Brain; Image size 240x240; Axial view; Slice 79 of 155
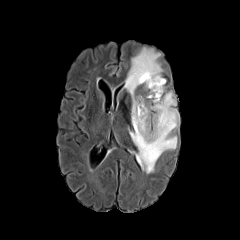
FLAIR MR.
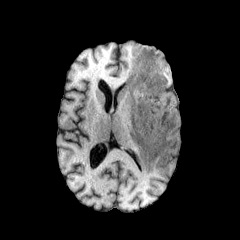
Same slice, T1-weighted MR.
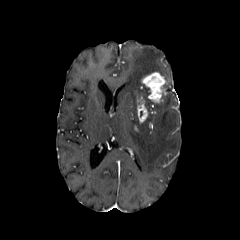
Post-contrast T1-weighted MRI of the same slice.
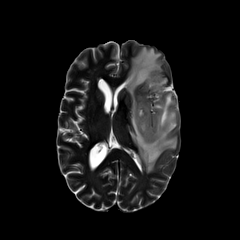
T2-weighted MR of the same slice.
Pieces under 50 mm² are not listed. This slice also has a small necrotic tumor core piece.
enhancing_tumor:
  - [141,72,165,102]
  - [137,96,148,123]
peritumoral_edema:
  - [124,47,179,173]